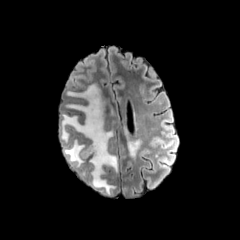
FLAIR MR image.
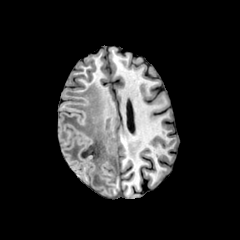
T1-weighted magnetic resonance.
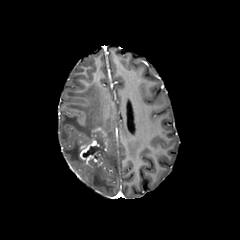
Post-contrast T1-weighted MR.
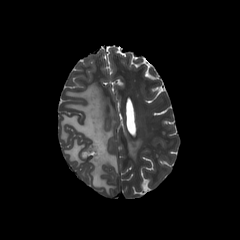
T2-weighted MR image.
Brain
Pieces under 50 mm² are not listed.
The largest enhancing tumor region is located at [x1=79, y1=127, x2=107, y2=166]. The necrotic tumor core appears at [x1=82, y1=132, x2=105, y2=161]. The 2 largest peritumoral edema regions are bounded by [x1=124, y1=127, x2=142, y2=159], [x1=60, y1=83, x2=118, y2=195].